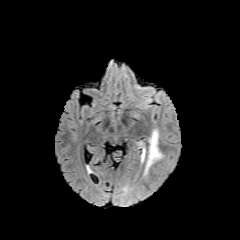
FLAIR MR.
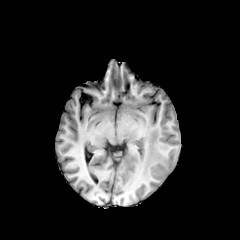
T1-weighted MR image.
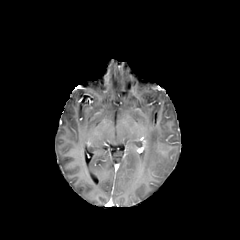
Post-contrast T1-weighted MRI of the same slice.
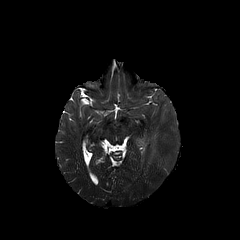
Same slice, T2-weighted MR.
Brain
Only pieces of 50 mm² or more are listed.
peritumoral edema: left=144, top=130, right=161, bottom=174